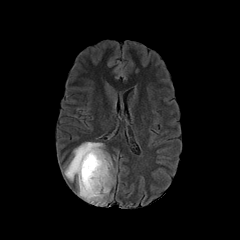
FLAIR MR image.
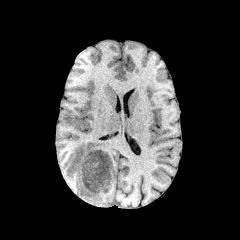
T1-weighted MR of the same slice.
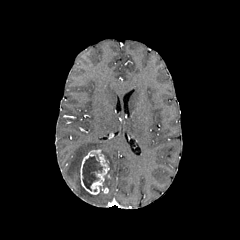
Same slice, post-contrast T1-weighted MR.
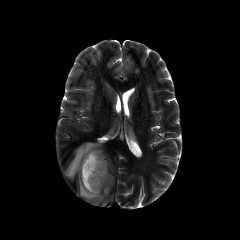
T2-weighted MRI of the same slice.
Head | 240x240 px
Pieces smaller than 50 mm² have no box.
peritumoral edema = box(64, 142, 114, 205)
necrotic tumor core = box(82, 156, 102, 190)
enhancing tumor = box(80, 149, 109, 194)